Axial view. Slice 91/155. Image width 240 mm.
FLAIR magnetic resonance.
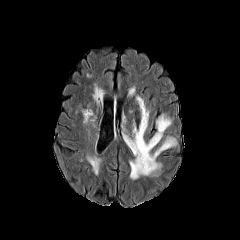
T1-weighted MR image.
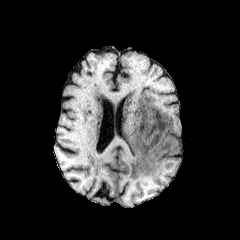
Post-contrast T1-weighted MR image.
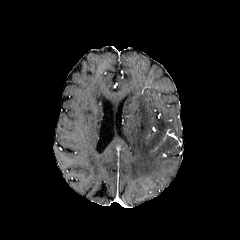
T2-weighted MRI.
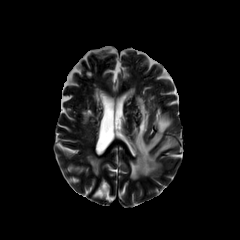
The peritumoral edema is located at box(124, 96, 176, 179).